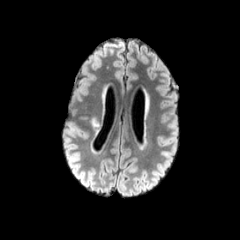
FLAIR MRI.
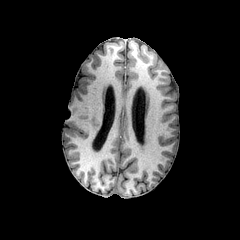
T1-weighted MRI of the same slice.
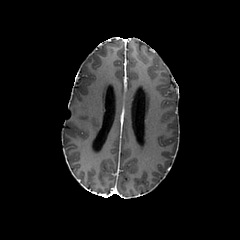
Post-contrast T1-weighted magnetic resonance of the same slice.
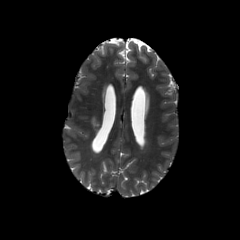
T2-weighted magnetic resonance.
<segmentation>
  <peritumoral_edema>x1=91, y1=118, x2=99, y2=127</peritumoral_edema>
</segmentation>